240x240. Image covers 240 mm x 240 mm. Axial slice. Brain. Slice 87 of 155.
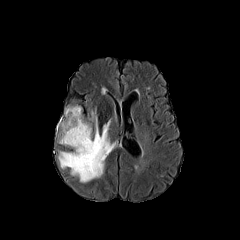
FLAIR magnetic resonance.
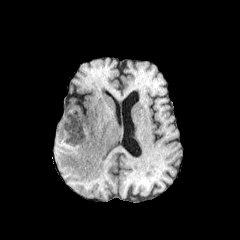
T1-weighted MR image of the same slice.
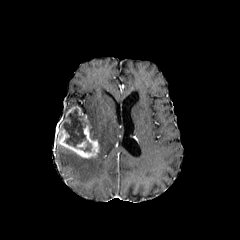
Same slice, post-contrast T1-weighted magnetic resonance.
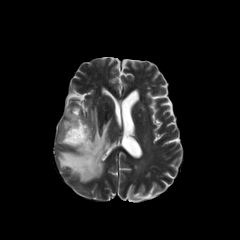
T2-weighted MRI.
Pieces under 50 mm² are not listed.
{"enhancing_tumor": ["(55,116,99,158)", "(65,106,81,117)"], "peritumoral_edema": ["(58,109,115,182)"], "necrotic_tumor_core": ["(62,108,88,146)", "(80,141,91,151)"]}